Slice 46 of 155
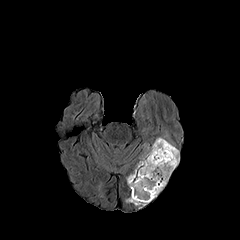
FLAIR MR image.
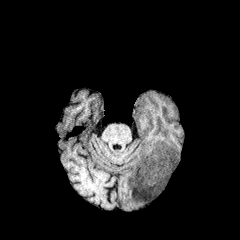
T1-weighted MR image.
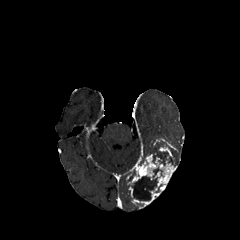
Post-contrast T1-weighted magnetic resonance of the same slice.
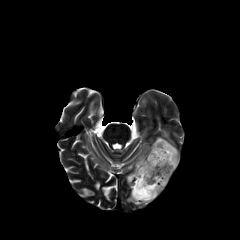
T2-weighted MR.
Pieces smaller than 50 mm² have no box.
The 3 largest necrotic tumor core regions appear at region(168, 147, 178, 165); region(150, 141, 168, 165); region(132, 176, 157, 200). The largest peritumoral edema region lies within region(142, 144, 152, 156). The enhancing tumor is at region(126, 138, 177, 208).